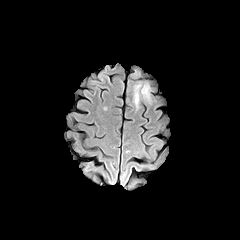
FLAIR MR.
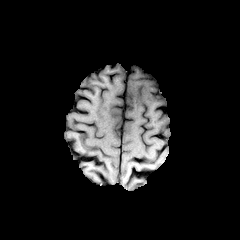
T1-weighted MR.
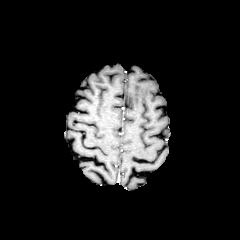
Post-contrast T1-weighted MR.
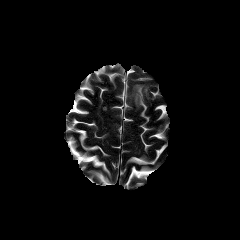
Same slice, T2-weighted MRI.
Head. 240x240 px.
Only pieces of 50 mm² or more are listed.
peritumoral_edema:
  - x1=133, y1=84, x2=150, y2=108